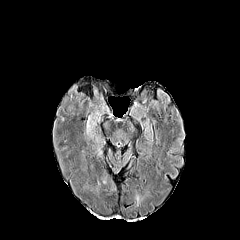
FLAIR MR.
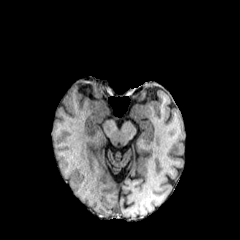
Same slice, T1-weighted MRI.
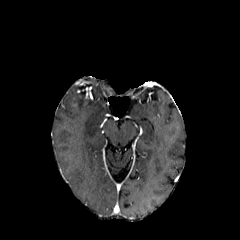
Post-contrast T1-weighted magnetic resonance of the same slice.
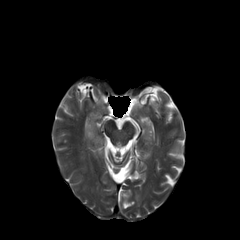
T2-weighted MRI.
Axial slice. Brain. 240x240.
peritumoral edema: <box>86,111,101,142</box>